Slice 105 of 155. Brain. 240x240 px.
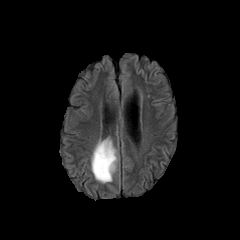
FLAIR MRI.
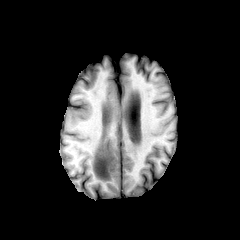
T1-weighted MR image.
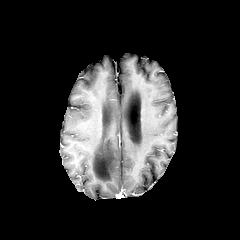
Post-contrast T1-weighted MR.
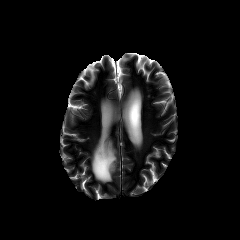
T2-weighted MRI.
The peritumoral edema is bounded by bbox=[91, 137, 117, 183].